Slice 67/155. 240x240 px.
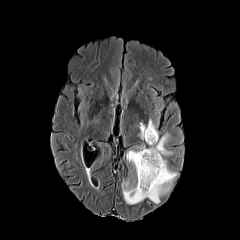
FLAIR MR image.
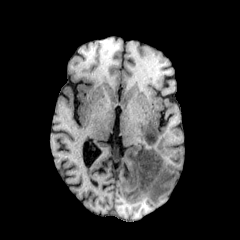
T1-weighted magnetic resonance.
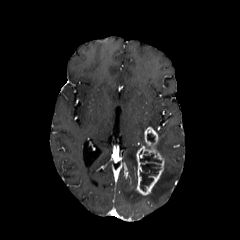
Post-contrast T1-weighted MRI of the same slice.
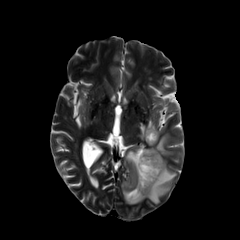
T2-weighted MR image.
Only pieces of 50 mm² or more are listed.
<segmentation>
  <enhancing_tumor>(x1=135, y1=126, x2=164, y2=195)</enhancing_tumor>
  <peritumoral_edema>(x1=126, y1=150, x2=136, y2=175), (x1=155, y1=133, x2=172, y2=156), (x1=139, y1=119, x2=158, y2=139), (x1=121, y1=159, x2=177, y2=204)</peritumoral_edema>
  <necrotic_tumor_core>(x1=147, y1=133, x2=154, y2=142), (x1=140, y1=153, x2=161, y2=191)</necrotic_tumor_core>
</segmentation>